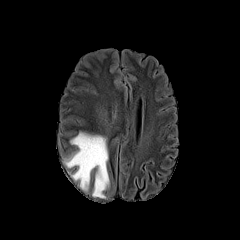
FLAIR MRI.
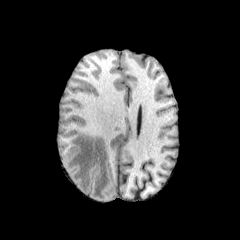
Same slice, T1-weighted magnetic resonance.
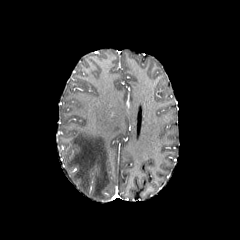
Post-contrast T1-weighted MRI.
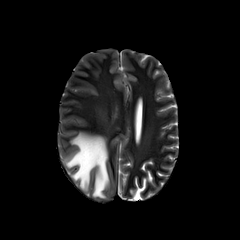
T2-weighted MRI.
Axial plane, Head, 240x240 px
peritumoral edema at 66, 132, 109, 198